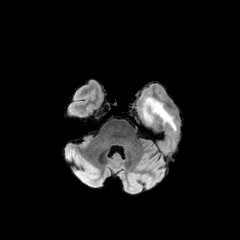
FLAIR MR.
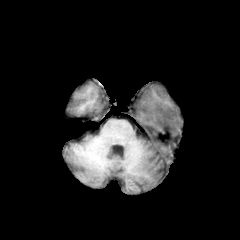
T1-weighted MR image.
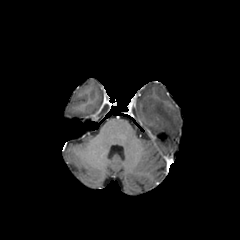
Post-contrast T1-weighted magnetic resonance.
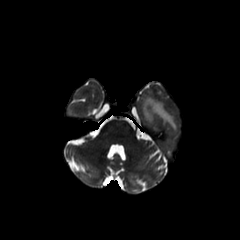
T2-weighted MRI.
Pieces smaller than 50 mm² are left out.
Segmented structures:
• peritumoral edema: 142 97 177 133